Slice index 94 | Head | Axial view | Image width 240 mm, 1.00 mm slice spacing
FLAIR magnetic resonance.
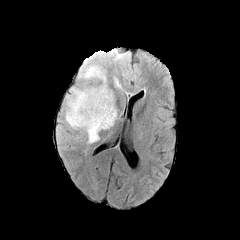
T1-weighted MRI.
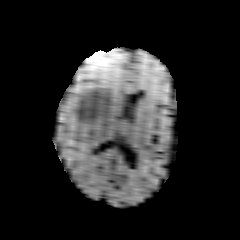
Post-contrast T1-weighted MRI.
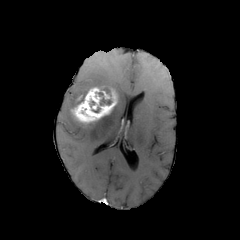
T2-weighted MRI.
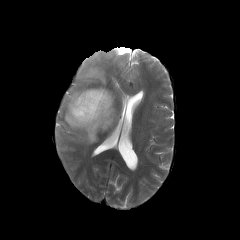
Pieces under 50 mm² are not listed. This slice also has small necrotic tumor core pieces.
enhancing tumor = 71, 86, 117, 124
peritumoral edema = 83, 67, 106, 85; 66, 87, 116, 143